Image width 240 mm, 1.00 mm slice spacing. Axial slice.
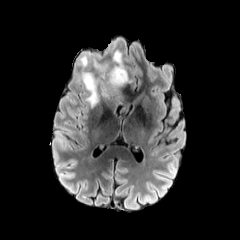
FLAIR MR.
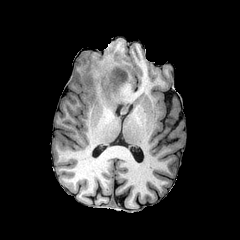
T1-weighted MRI.
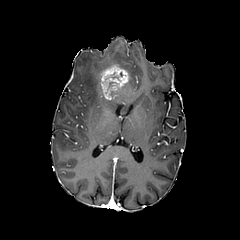
Post-contrast T1-weighted MR of the same slice.
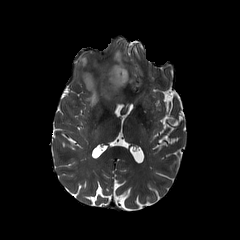
T2-weighted MRI.
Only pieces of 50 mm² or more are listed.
peritumoral edema: bounding box left=83, top=49, right=127, bottom=107; left=80, top=56, right=87, bottom=66
necrotic tumor core: bounding box left=102, top=71, right=125, bottom=93
enhancing tumor: bounding box left=100, top=67, right=129, bottom=99